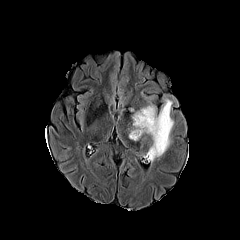
FLAIR MRI.
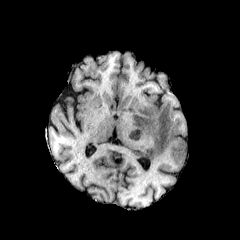
Same slice, T1-weighted MR image.
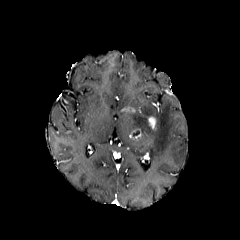
Post-contrast T1-weighted MR.
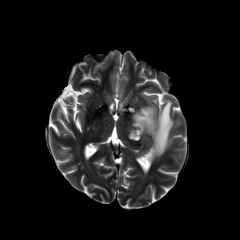
Same slice, T2-weighted MR.
Axial plane.
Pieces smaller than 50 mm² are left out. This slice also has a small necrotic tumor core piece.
<segmentation>
  <enhancing_tumor>x1=121 y1=107 x2=134 y2=112, x1=148 y1=116 x2=156 y2=128, x1=129 y1=129 x2=142 y2=139</enhancing_tumor>
  <peritumoral_edema>x1=132 y1=99 x2=173 y2=160</peritumoral_edema>
</segmentation>